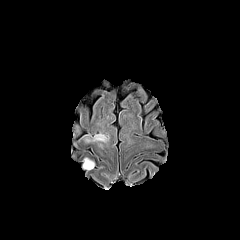
FLAIR MR image.
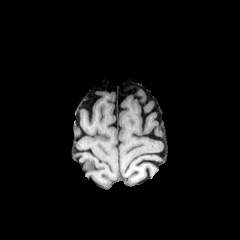
T1-weighted MRI.
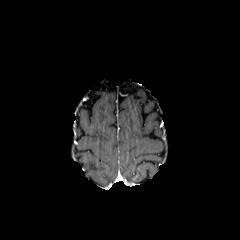
Post-contrast T1-weighted MRI.
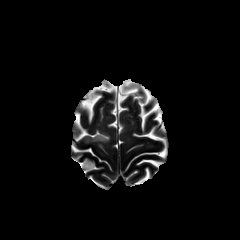
T2-weighted magnetic resonance of the same slice.
240x240, Head, Axial slice
Annotated regions:
• peritumoral edema: [x1=93, y1=133, x2=108, y2=141], [x1=83, y1=158, x2=94, y2=170]